FLAIR MR.
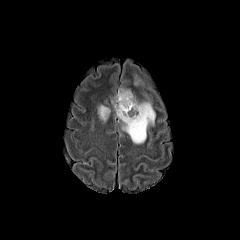
T1-weighted MRI.
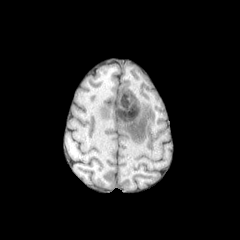
Post-contrast T1-weighted magnetic resonance.
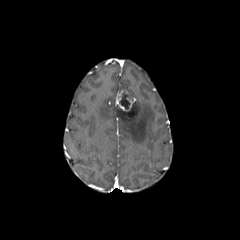
T2-weighted MRI.
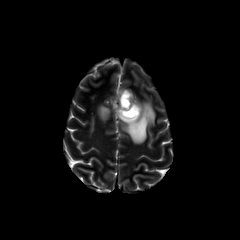
Axial view.
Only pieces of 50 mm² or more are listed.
<segmentation>
  <necrotic_tumor_core>(x1=119, y1=92, x2=130, y2=109)</necrotic_tumor_core>
  <peritumoral_edema>(x1=116, y1=102, x2=155, y2=143), (x1=98, y1=105, x2=110, y2=121)</peritumoral_edema>
  <enhancing_tumor>(x1=116, y1=90, x2=134, y2=111)</enhancing_tumor>
</segmentation>